Brain | 240x240 px | Axial slice
FLAIR MRI.
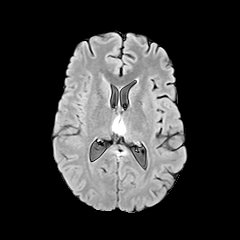
T1-weighted magnetic resonance.
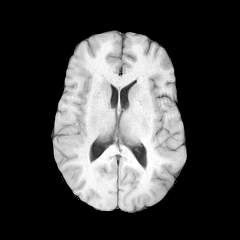
Post-contrast T1-weighted MRI.
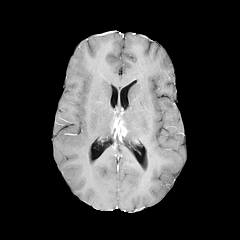
T2-weighted magnetic resonance.
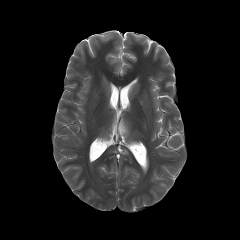
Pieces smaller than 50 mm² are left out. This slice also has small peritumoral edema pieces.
enhancing_tumor:
  - <box>112,116,126,135</box>